Brain; Axial slice; Image width 240 mm
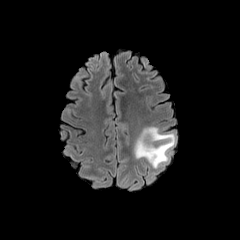
FLAIR MRI.
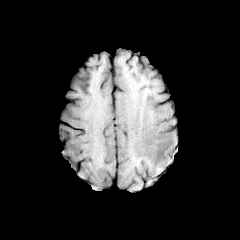
T1-weighted MRI.
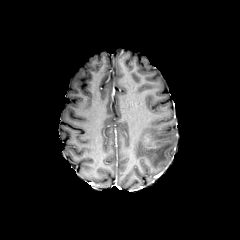
Post-contrast T1-weighted magnetic resonance.
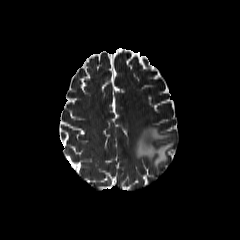
Same slice, T2-weighted MR image.
The peritumoral edema is at x1=134, y1=126, x2=175, y2=168.